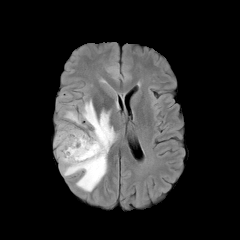
FLAIR MR image.
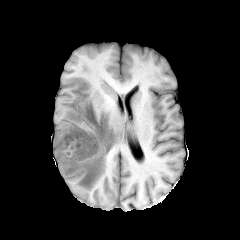
T1-weighted MRI.
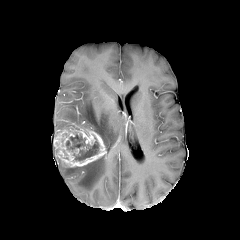
Same slice, post-contrast T1-weighted magnetic resonance.
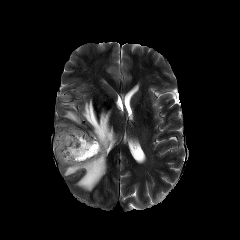
T2-weighted magnetic resonance.
Axial view.
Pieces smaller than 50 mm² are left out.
enhancing tumor at rect(53, 127, 106, 167)
necrotic tumor core at rect(66, 137, 84, 147); rect(76, 144, 98, 159)
peritumoral edema at rect(64, 100, 117, 150); rect(59, 123, 73, 129); rect(58, 154, 107, 191)